FLAIR magnetic resonance.
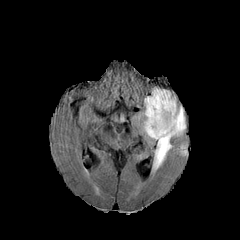
T1-weighted magnetic resonance.
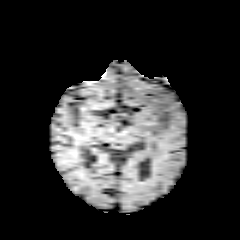
Post-contrast T1-weighted MR.
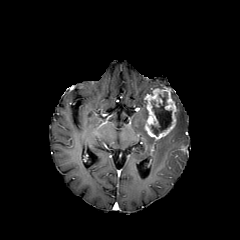
T2-weighted MR.
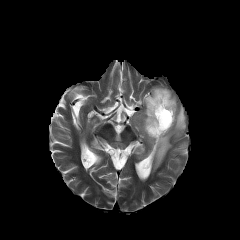
240x240 px
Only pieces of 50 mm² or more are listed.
necrotic tumor core: bounding box box=[151, 94, 171, 135]
peritumoral edema: bounding box box=[136, 109, 155, 143]; box=[152, 96, 185, 171]
enhancing tumor: bounding box box=[144, 88, 177, 140]